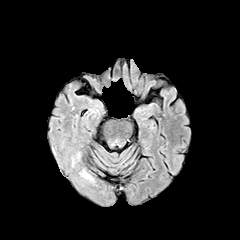
FLAIR MRI.
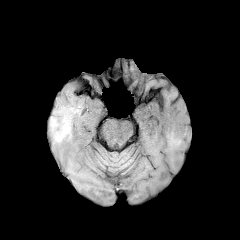
T1-weighted MRI of the same slice.
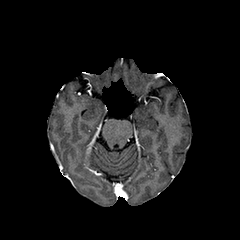
Same slice, post-contrast T1-weighted MR.
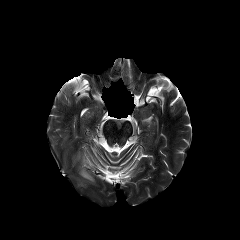
Same slice, T2-weighted MR.
- peritumoral edema: 81:170:92:180